FLAIR magnetic resonance.
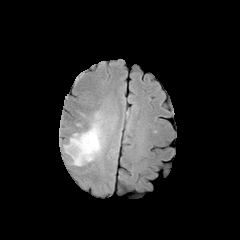
T1-weighted MR.
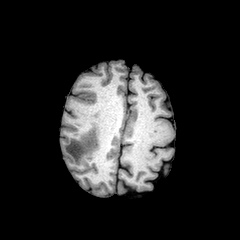
Post-contrast T1-weighted MR.
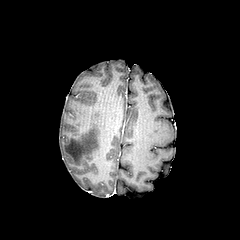
T2-weighted MR.
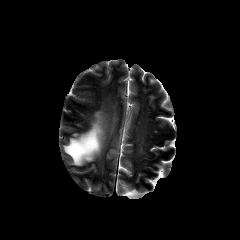
Head
<segmentation>
  <peritumoral_edema>[63,112,104,165]</peritumoral_edema>
</segmentation>